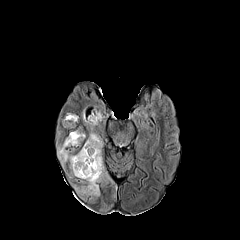
FLAIR MRI.
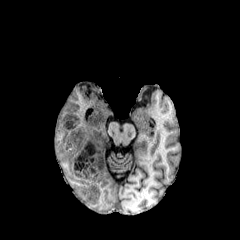
T1-weighted MR.
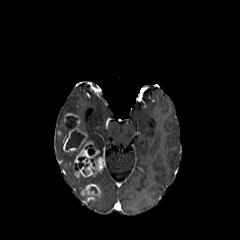
Same slice, post-contrast T1-weighted MR image.
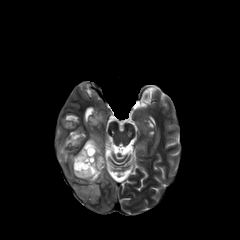
T2-weighted magnetic resonance of the same slice.
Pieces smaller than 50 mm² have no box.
The 4 largest enhancing tumor regions are bounded by x1=63, y1=125, x2=86, y2=152; x1=74, y1=141, x2=104, y2=177; x1=80, y1=184, x2=100, y2=200; x1=63, y1=113, x2=78, y2=122. The 4 largest necrotic tumor core regions appear at x1=66, y1=130, x2=84, y2=149; x1=75, y1=157, x2=85, y2=170; x1=85, y1=145, x2=94, y2=155; x1=63, y1=116, x2=77, y2=130. The 3 largest peritumoral edema regions are bounded by x1=83, y1=111, x2=104, y2=154; x1=79, y1=168, x2=110, y2=184; x1=58, y1=145, x2=76, y2=175.